FLAIR MRI.
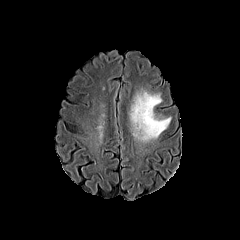
T1-weighted MR image.
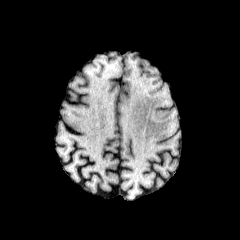
Post-contrast T1-weighted MR image.
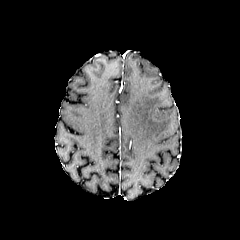
T2-weighted magnetic resonance.
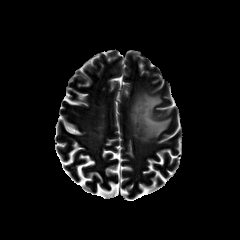
Head
peritumoral edema: {"x1": 129, "y1": 91, "x2": 170, "y2": 142}